Slice index 40. 240x240 px.
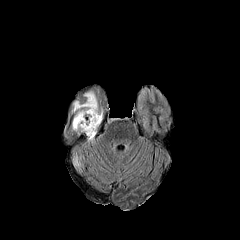
FLAIR MRI.
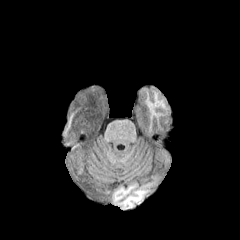
T1-weighted magnetic resonance of the same slice.
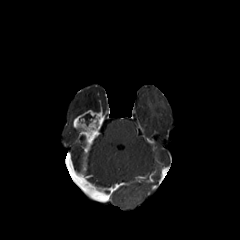
Post-contrast T1-weighted MR.
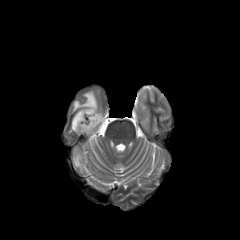
T2-weighted MR image.
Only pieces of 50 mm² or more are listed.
peritumoral edema: 72 91 98 118, 74 152 80 166 | necrotic tumor core: 82 113 94 125 | enhancing tumor: 73 109 103 144